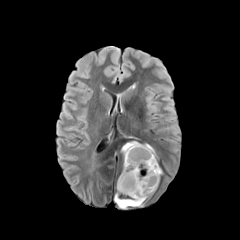
FLAIR magnetic resonance.
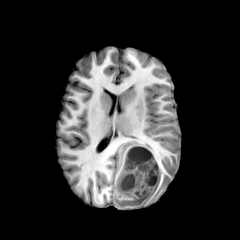
T1-weighted MRI.
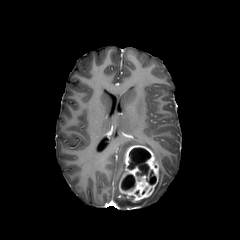
Post-contrast T1-weighted MR image.
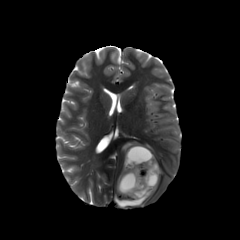
T2-weighted magnetic resonance.
Brain
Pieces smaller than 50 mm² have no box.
necrotic tumor core: bounding box [x1=146, y1=170, x2=156, y2=184], [x1=128, y1=148, x2=150, y2=176], [x1=121, y1=174, x2=135, y2=189]
peritumoral edema: bounding box [x1=144, y1=143, x2=156, y2=160], [x1=122, y1=141, x2=140, y2=168], [x1=114, y1=169, x2=146, y2=208]
enhancing tumor: bounding box [x1=119, y1=145, x2=159, y2=202]